Axial view. Head. Image width 240 mm.
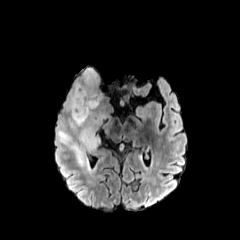
FLAIR MRI.
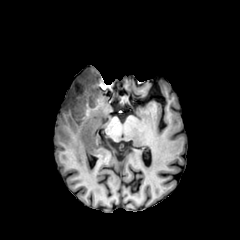
T1-weighted MRI of the same slice.
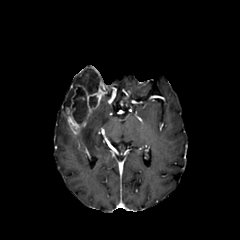
Post-contrast T1-weighted MRI of the same slice.
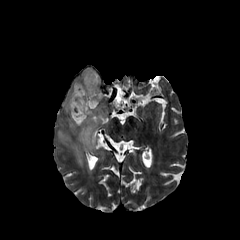
T2-weighted magnetic resonance.
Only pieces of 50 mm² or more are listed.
{"peritumoral_edema": ["left=56, top=107, right=105, bottom=166", "left=62, top=67, right=100, bottom=110"], "necrotic_tumor_core": ["left=72, top=87, right=88, bottom=123", "left=89, top=96, right=97, bottom=107"], "enhancing_tumor": ["left=62, top=84, right=104, bottom=136"]}